FLAIR MR.
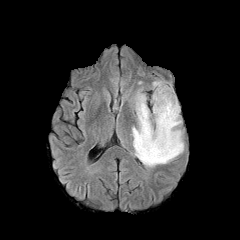
T1-weighted MR image.
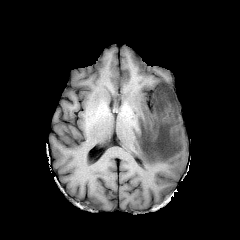
Post-contrast T1-weighted MRI.
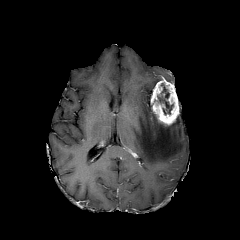
T2-weighted magnetic resonance.
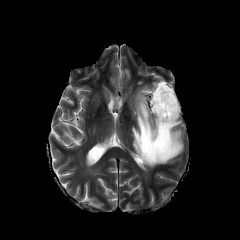
Axial slice
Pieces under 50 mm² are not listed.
peritumoral edema: bounding box left=132, top=90, right=183, bottom=167
enhancing tumor: bounding box left=150, top=78, right=179, bottom=125
necrotic tumor core: bounding box left=158, top=97, right=173, bottom=113; left=161, top=84, right=169, bottom=98